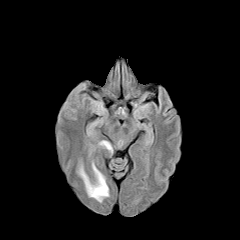
FLAIR magnetic resonance.
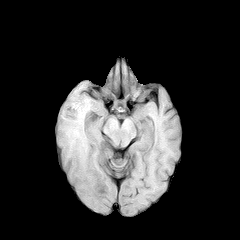
T1-weighted MR image.
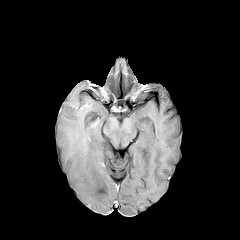
Post-contrast T1-weighted MR.
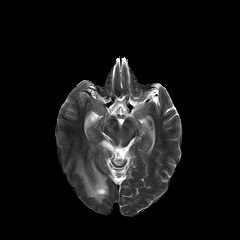
T2-weighted MR.
Brain
- peritumoral edema: [99,141,112,152], [79,163,108,202]